Axial plane, Image size 240x240, Image width 240 mm, 1.00 mm slice spacing, Head
FLAIR MR.
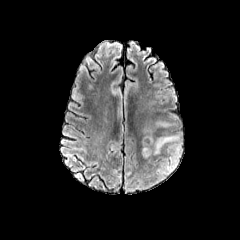
T1-weighted magnetic resonance.
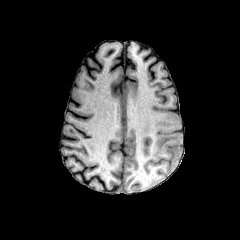
Post-contrast T1-weighted magnetic resonance.
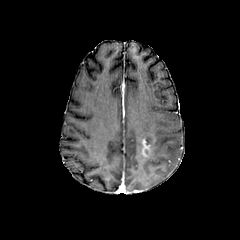
T2-weighted MR.
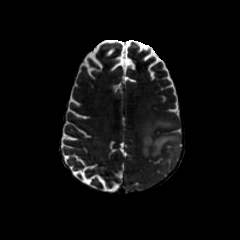
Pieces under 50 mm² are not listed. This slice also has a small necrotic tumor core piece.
peritumoral edema: region(144, 120, 174, 136); region(150, 133, 181, 167) | enhancing tumor: region(141, 135, 155, 157)